FLAIR magnetic resonance.
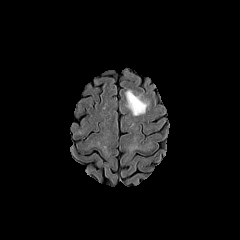
T1-weighted MRI.
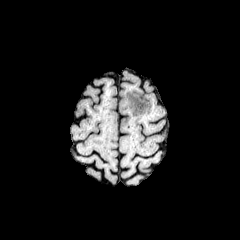
Post-contrast T1-weighted MR image.
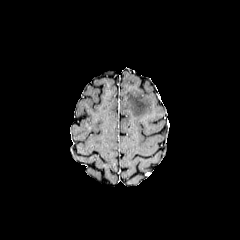
T2-weighted magnetic resonance.
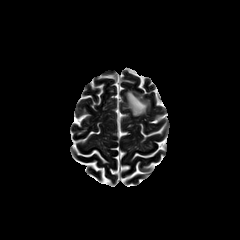
240x240 px | Axial view
The peritumoral edema lies within 125, 90, 149, 115.